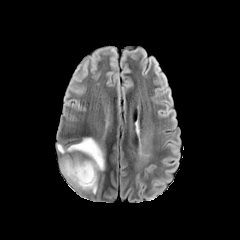
FLAIR magnetic resonance.
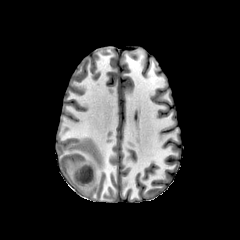
T1-weighted magnetic resonance of the same slice.
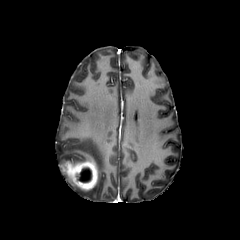
Post-contrast T1-weighted magnetic resonance.
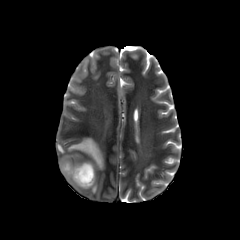
T2-weighted magnetic resonance.
Image size 240x240. Axial slice. Brain.
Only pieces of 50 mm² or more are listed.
The necrotic tumor core lies within 77:167:91:182. The largest peritumoral edema region is bounded by 56:138:104:170. The enhancing tumor is at 60:159:97:190.